FLAIR magnetic resonance.
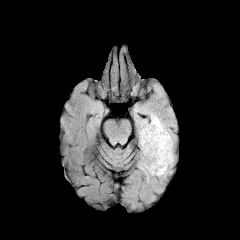
T1-weighted MR image.
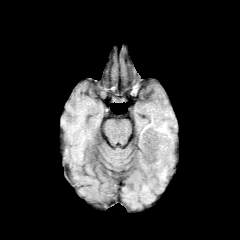
Post-contrast T1-weighted MRI.
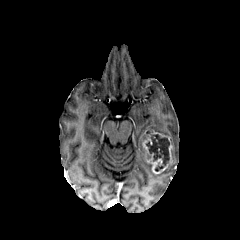
T2-weighted MR image.
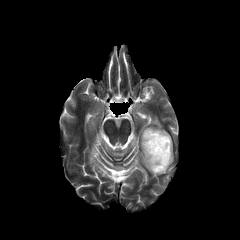
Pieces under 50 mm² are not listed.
necrotic tumor core: 146,134,169,171 | peritumoral edema: 139,114,174,175 | enhancing tumor: 142,128,172,173